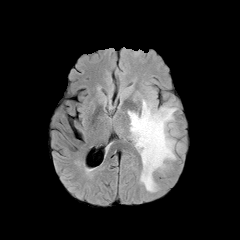
FLAIR magnetic resonance.
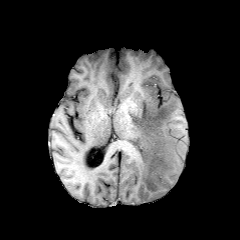
Same slice, T1-weighted magnetic resonance.
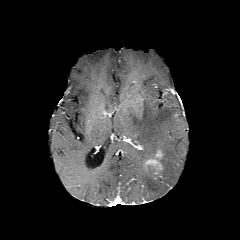
Post-contrast T1-weighted MRI.
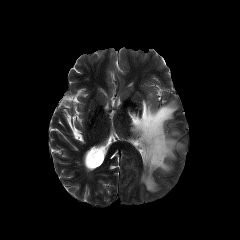
T2-weighted MR of the same slice.
Axial plane
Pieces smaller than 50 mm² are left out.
The largest enhancing tumor region appears at <bbox>145, 150, 162, 170</bbox>. The peritumoral edema is located at <bbox>128, 99, 182, 192</bbox>.